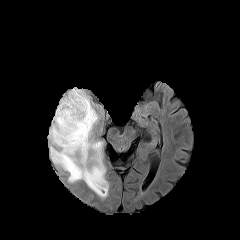
FLAIR MRI.
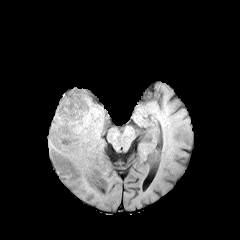
T1-weighted MR image.
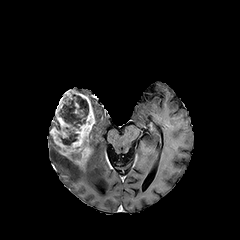
Same slice, post-contrast T1-weighted MRI.
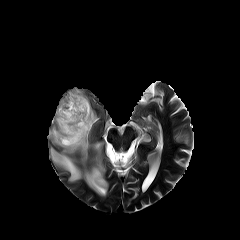
Same slice, T2-weighted MRI.
Axial slice
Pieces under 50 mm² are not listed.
enhancing tumor — [50, 89, 95, 169]
necrotic tumor core — [58, 130, 78, 145], [59, 94, 88, 128]
peritumoral edema — [50, 101, 108, 197], [51, 116, 60, 130], [49, 131, 60, 149]